Brain; Slice 109 of 155
FLAIR MRI.
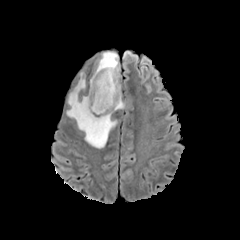
T1-weighted MRI.
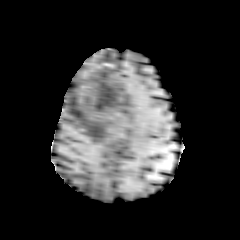
Post-contrast T1-weighted MR.
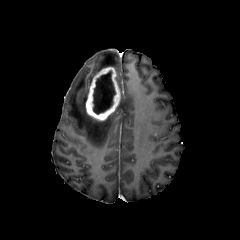
T2-weighted MR.
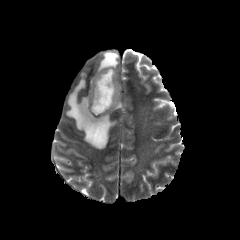
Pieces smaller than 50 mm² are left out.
The 3 largest peritumoral edema regions are bounded by [116, 99, 124, 109], [67, 73, 116, 148], [96, 51, 119, 80]. The necrotic tumor core is at [93, 71, 115, 114]. The enhancing tumor is located at [86, 67, 120, 120].